FLAIR MR.
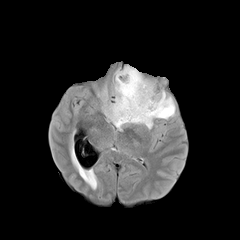
T1-weighted MR image.
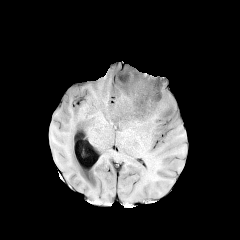
Post-contrast T1-weighted magnetic resonance.
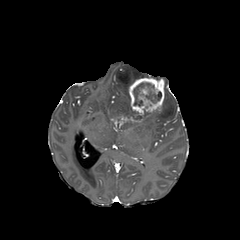
T2-weighted magnetic resonance.
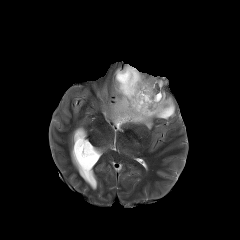
Axial view. Brain.
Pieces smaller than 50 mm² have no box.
Segmented structures:
* peritumoral edema: <bbox>98, 65, 175, 128</bbox>
* necrotic tumor core: <bbox>145, 91, 161, 102</bbox>, <bbox>133, 85, 144, 106</bbox>
* enhancing tumor: <bbox>129, 78, 164, 117</bbox>, <bbox>111, 115, 142, 127</bbox>